FLAIR MR.
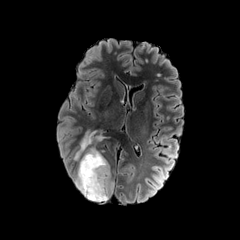
T1-weighted magnetic resonance.
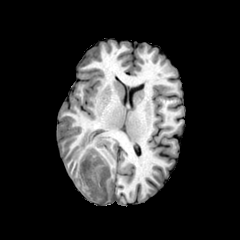
Post-contrast T1-weighted magnetic resonance.
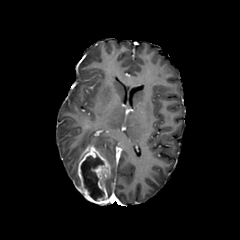
T2-weighted magnetic resonance.
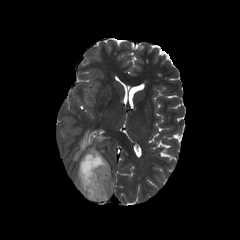
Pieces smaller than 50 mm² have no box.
The enhancing tumor is located at <box>78,146,110,204</box>. The 4 largest peritumoral edema regions are located at <box>107,176,113,197</box>, <box>73,130,93,164</box>, <box>95,133,109,141</box>, <box>74,167,79,187</box>. The necrotic tumor core appears at <box>81,154,104,200</box>.